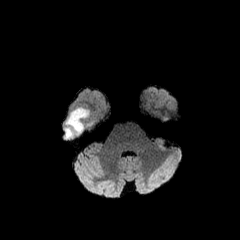
FLAIR MR.
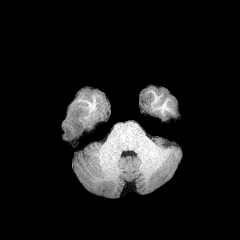
T1-weighted MRI.
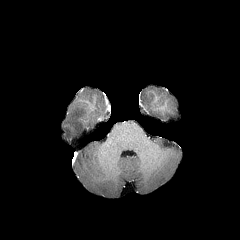
Same slice, post-contrast T1-weighted MR image.
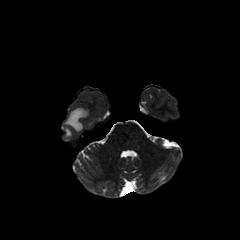
T2-weighted MRI of the same slice.
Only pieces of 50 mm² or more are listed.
The largest peritumoral edema region appears at l=66, t=108, r=87, b=131.